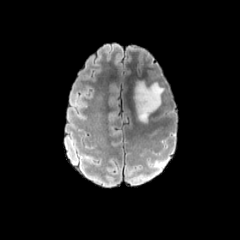
FLAIR MR.
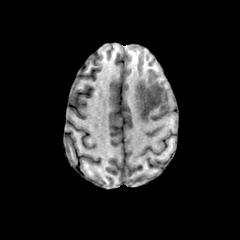
T1-weighted MR.
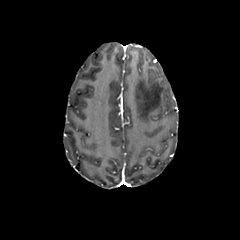
Post-contrast T1-weighted MR.
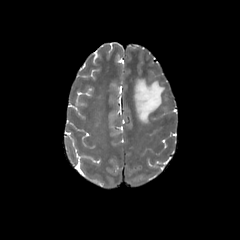
Same slice, T2-weighted MRI.
Head.
<segmentation>
  <peritumoral_edema>region(134, 80, 164, 122)</peritumoral_edema>
</segmentation>